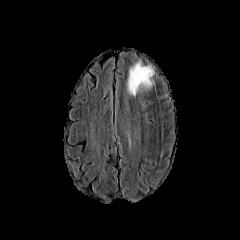
FLAIR MRI.
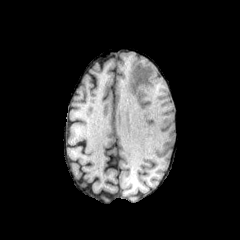
Same slice, T1-weighted MR.
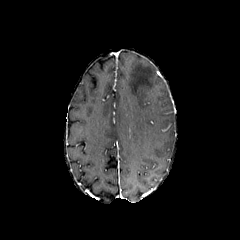
Post-contrast T1-weighted magnetic resonance of the same slice.
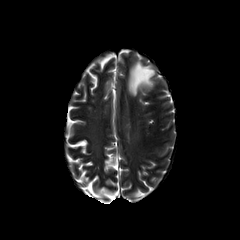
Same slice, T2-weighted MR image.
240x240; Brain
Findings:
• peritumoral edema: 127, 61, 154, 96